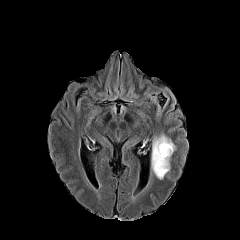
FLAIR MR image.
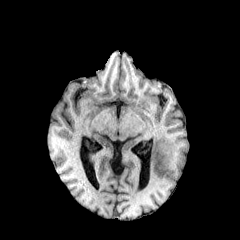
T1-weighted magnetic resonance of the same slice.
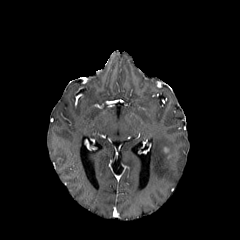
Same slice, post-contrast T1-weighted MR.
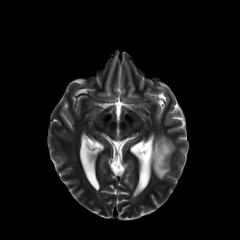
T2-weighted MRI of the same slice.
Axial plane
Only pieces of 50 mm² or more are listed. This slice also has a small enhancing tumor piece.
Segmented structures:
* peritumoral edema: rect(151, 133, 175, 179)